Brain; Axial plane; Slice 111/155
FLAIR magnetic resonance.
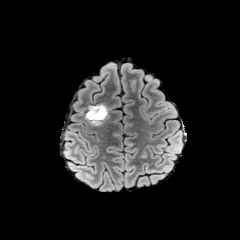
T1-weighted MR image.
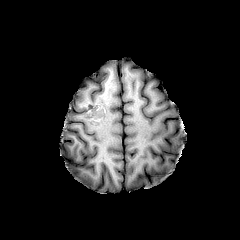
Post-contrast T1-weighted magnetic resonance.
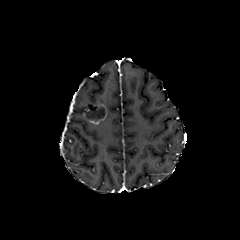
T2-weighted MR image.
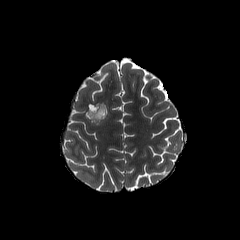
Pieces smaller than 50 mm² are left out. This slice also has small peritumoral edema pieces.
enhancing tumor: 85:103:107:124
necrotic tumor core: 86:107:104:119